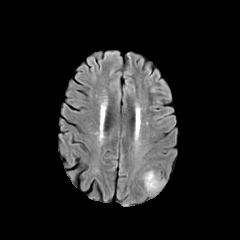
FLAIR MRI.
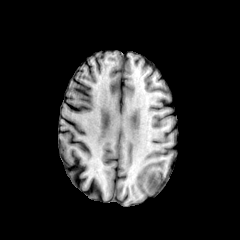
T1-weighted MR of the same slice.
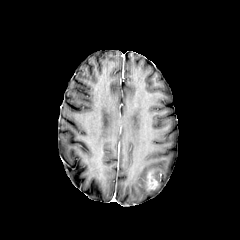
Post-contrast T1-weighted MR image.
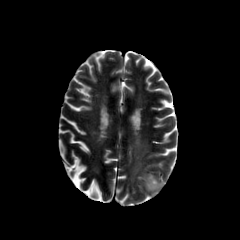
T2-weighted magnetic resonance.
Head
The peritumoral edema is bounded by (x1=143, y1=171, x2=165, y2=194). The enhancing tumor is located at (x1=146, y1=173, x2=159, y2=189).